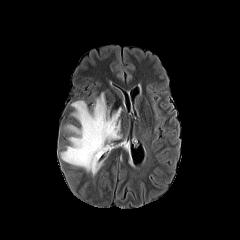
FLAIR magnetic resonance.
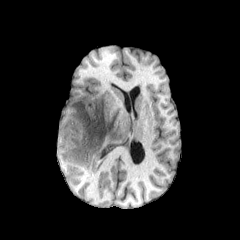
T1-weighted MR.
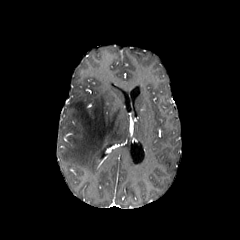
Post-contrast T1-weighted magnetic resonance.
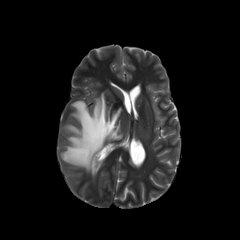
T2-weighted MR of the same slice.
Axial plane.
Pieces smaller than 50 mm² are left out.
peritumoral edema = <box>61,92,121,175</box>